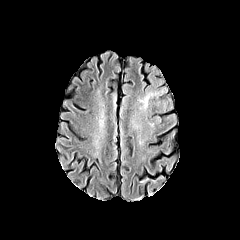
FLAIR MR image.
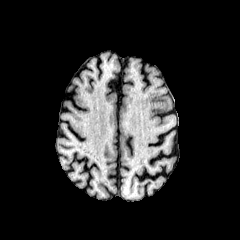
T1-weighted MRI of the same slice.
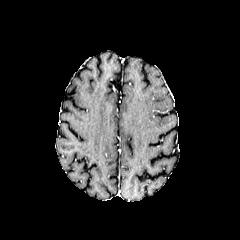
Post-contrast T1-weighted MR.
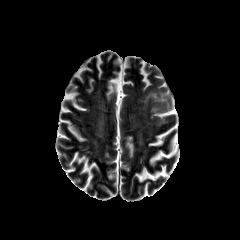
T2-weighted magnetic resonance.
The peritumoral edema is at {"x1": 140, "y1": 92, "x2": 157, "y2": 108}.